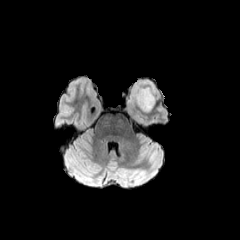
FLAIR magnetic resonance.
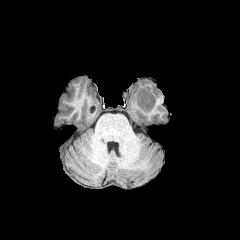
T1-weighted magnetic resonance.
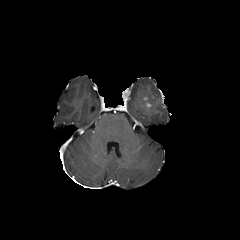
Same slice, post-contrast T1-weighted MR image.
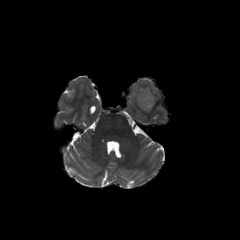
Same slice, T2-weighted MRI.
The enhancing tumor appears at 142, 97, 151, 109. The peritumoral edema is at 128, 79, 159, 111.